Head; Axial plane
FLAIR MR image.
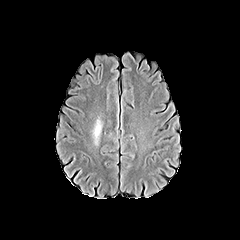
T1-weighted MR image.
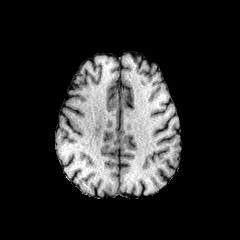
Post-contrast T1-weighted MR.
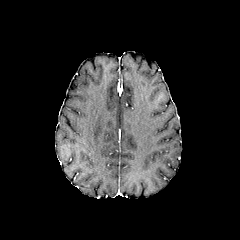
T2-weighted MR image.
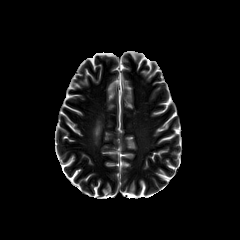
peritumoral edema: bounding box <box>93,119,101,144</box>